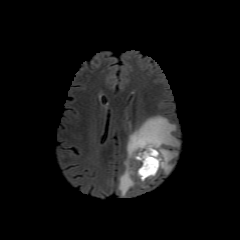
FLAIR magnetic resonance.
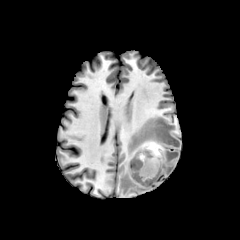
T1-weighted magnetic resonance.
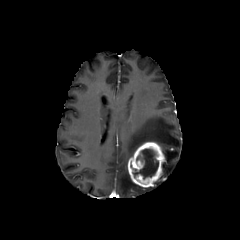
Post-contrast T1-weighted MR.
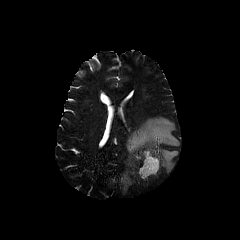
T2-weighted MRI.
Axial slice | Head
The peritumoral edema is located at left=119, top=116, right=179, bottom=195. The enhancing tumor is located at left=127, top=142, right=165, bottom=187. The necrotic tumor core is located at left=133, top=149, right=158, bottom=178.